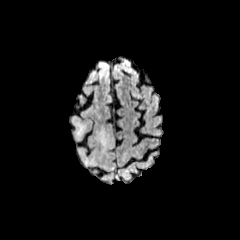
FLAIR magnetic resonance.
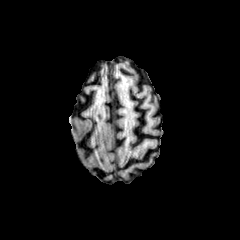
T1-weighted MRI of the same slice.
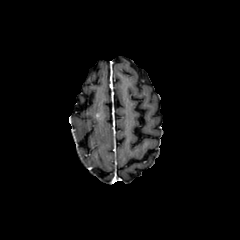
Post-contrast T1-weighted magnetic resonance of the same slice.
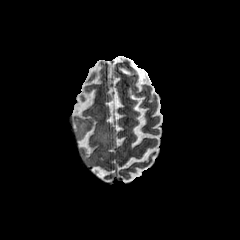
Same slice, T2-weighted MR.
Head
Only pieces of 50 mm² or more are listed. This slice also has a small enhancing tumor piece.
peritumoral edema: l=83, t=158, r=94, b=164; l=73, t=119, r=86, b=139; l=97, t=129, r=109, b=146